Slice index 33. Image covers 240 mm x 240 mm. 240x240 px.
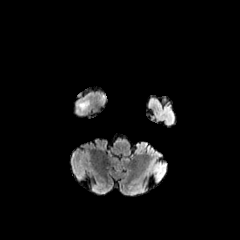
FLAIR magnetic resonance.
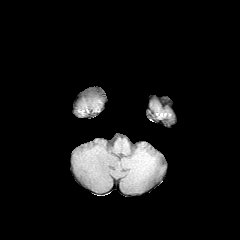
T1-weighted MR image.
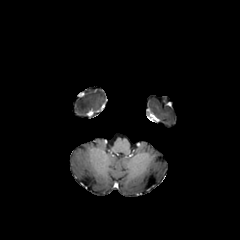
Post-contrast T1-weighted MR image of the same slice.
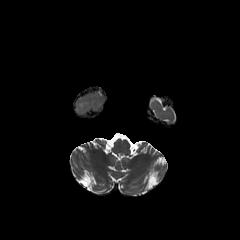
Same slice, T2-weighted MRI.
{"peritumoral_edema": ["bbox(77, 101, 89, 112)"]}